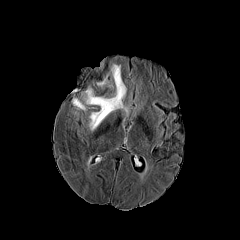
FLAIR MR.
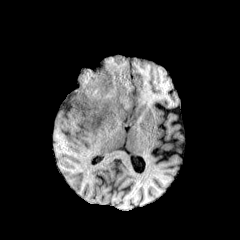
T1-weighted MR image of the same slice.
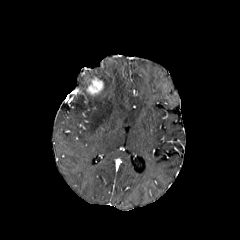
Post-contrast T1-weighted MRI.
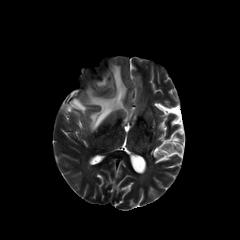
T2-weighted MR.
Brain | Axial slice
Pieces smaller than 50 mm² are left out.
- peritumoral edema: left=85, top=64, right=127, bottom=131; left=72, top=98, right=86, bottom=110
- enhancing tumor: left=86, top=79, right=103, bottom=94